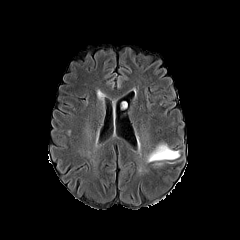
FLAIR magnetic resonance.
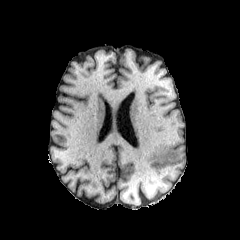
T1-weighted MR.
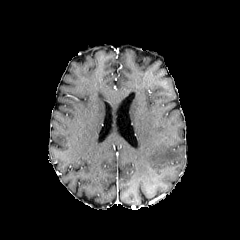
Post-contrast T1-weighted MRI.
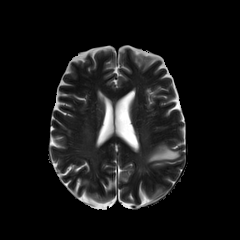
T2-weighted MRI of the same slice.
Axial plane | Head
peritumoral edema = bbox=[146, 143, 180, 165]